Slice index 94. Image size 240x240.
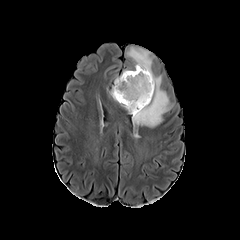
FLAIR magnetic resonance.
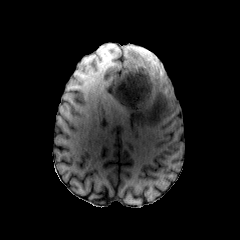
T1-weighted MR image of the same slice.
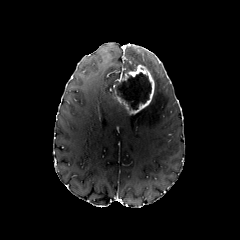
Post-contrast T1-weighted magnetic resonance.
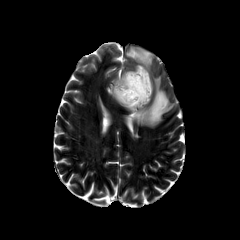
T2-weighted MR of the same slice.
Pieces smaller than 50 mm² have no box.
The enhancing tumor is at 113 65 154 114. The necrotic tumor core is located at 115 72 151 109. The largest peritumoral edema region appears at 129 51 172 127.